Head
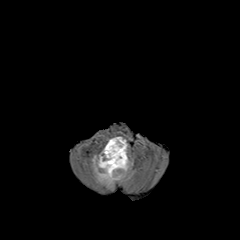
FLAIR MR image.
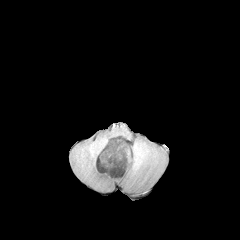
T1-weighted MR image.
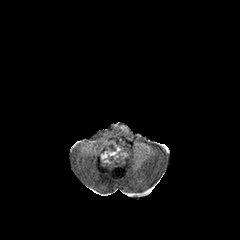
Post-contrast T1-weighted magnetic resonance.
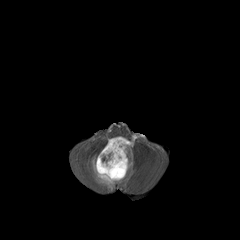
T2-weighted magnetic resonance.
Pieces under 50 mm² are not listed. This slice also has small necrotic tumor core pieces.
<segmentation>
  <peritumoral_edema>(108, 136, 128, 153), (92, 154, 132, 188)</peritumoral_edema>
  <enhancing_tumor>(97, 139, 127, 174)</enhancing_tumor>
</segmentation>